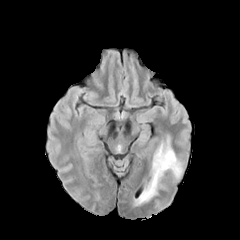
FLAIR MRI.
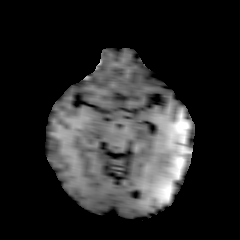
T1-weighted magnetic resonance.
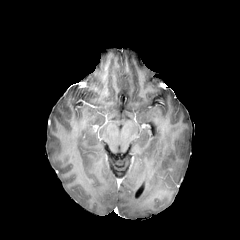
Post-contrast T1-weighted MRI.
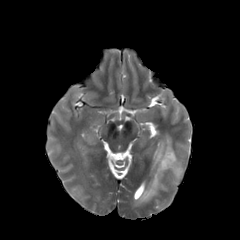
T2-weighted MR.
Axial slice. Brain.
The peritumoral edema is located at x1=135 y1=136 x2=181 y2=205.